Brain
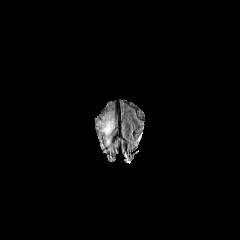
FLAIR magnetic resonance.
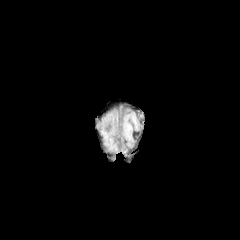
T1-weighted MR of the same slice.
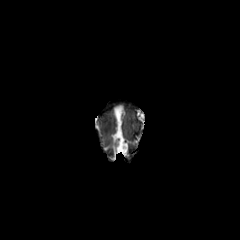
Post-contrast T1-weighted MRI.
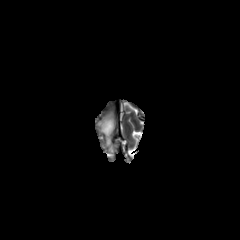
Same slice, T2-weighted MR image.
The peritumoral edema is located at l=101, t=117, r=114, b=145.